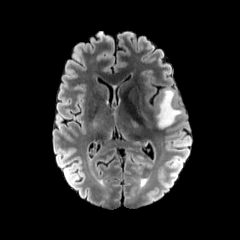
FLAIR MRI.
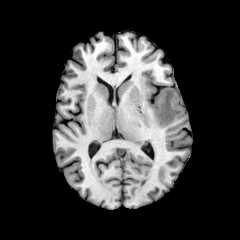
Same slice, T1-weighted magnetic resonance.
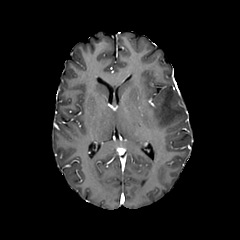
Same slice, post-contrast T1-weighted MR.
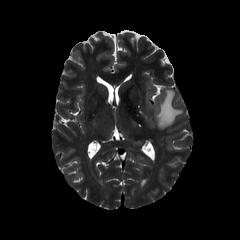
Same slice, T2-weighted magnetic resonance.
Brain | 240x240 px | Axial slice
peritumoral edema = 156:89:182:128